FLAIR MR image.
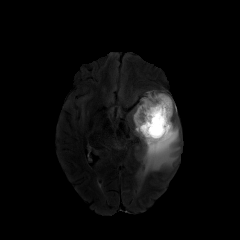
T1-weighted MR.
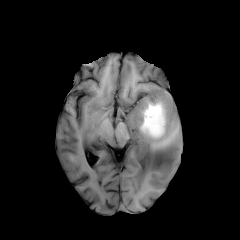
Post-contrast T1-weighted magnetic resonance.
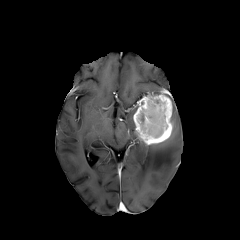
T2-weighted MR image.
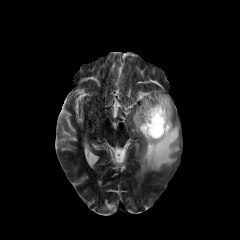
Head; Axial view
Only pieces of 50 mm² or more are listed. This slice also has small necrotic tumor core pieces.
3 peritumoral edema regions are located at [131, 103, 138, 135], [144, 90, 160, 95], [140, 92, 180, 176]. The enhancing tumor lies within [133, 90, 172, 145].